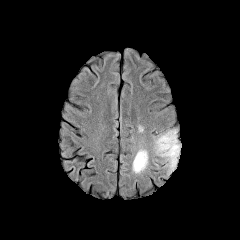
FLAIR MR image.
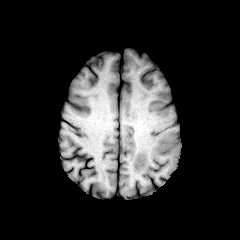
T1-weighted MR of the same slice.
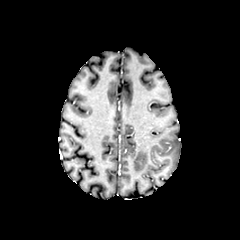
Post-contrast T1-weighted MR image.
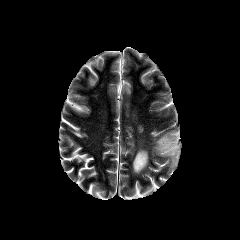
Same slice, T2-weighted magnetic resonance.
Axial plane; 240x240 px
3 peritumoral edema regions are located at l=136, t=125, r=144, b=132; l=154, t=129, r=181, b=175; l=132, t=148, r=148, b=173.